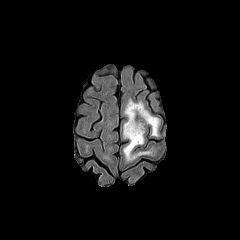
FLAIR MR.
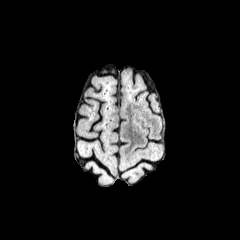
Same slice, T1-weighted MR.
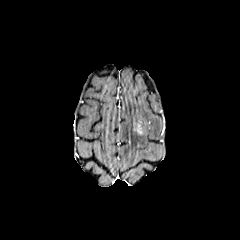
Post-contrast T1-weighted MR image of the same slice.
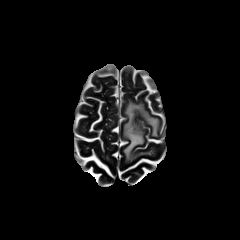
T2-weighted MR image of the same slice.
Axial plane
enhancing tumor at (134,122,142,134)
peritumoral edema at (123,99,159,161)